Head, Image covers 240 mm x 240 mm
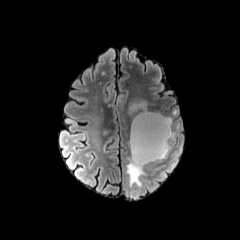
FLAIR MR.
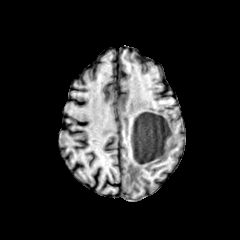
T1-weighted MRI of the same slice.
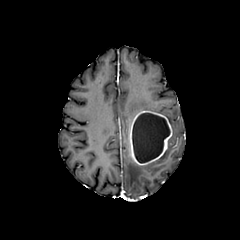
Post-contrast T1-weighted MR image.
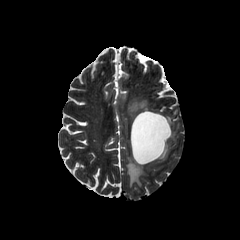
T2-weighted MRI.
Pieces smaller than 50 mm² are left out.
<segmentation>
  <peritumoral_edema>box=[128, 97, 151, 117]; box=[126, 157, 144, 187]</peritumoral_edema>
  <necrotic_tumor_core>box=[132, 113, 169, 162]</necrotic_tumor_core>
  <enhancing_tumor>box=[129, 110, 172, 165]</enhancing_tumor>
</segmentation>